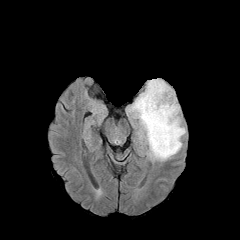
FLAIR magnetic resonance.
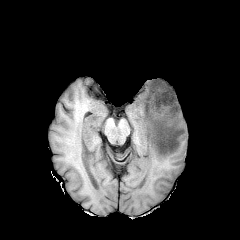
T1-weighted MR image of the same slice.
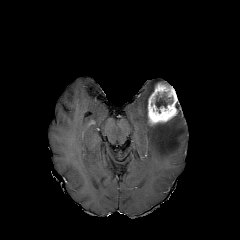
Post-contrast T1-weighted magnetic resonance.
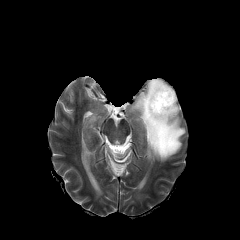
Same slice, T2-weighted magnetic resonance.
Brain | Axial plane
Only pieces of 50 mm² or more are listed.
The largest peritumoral edema region is bounded by 128:78:185:161. The largest necrotic tumor core region appears at 155:96:167:107. The enhancing tumor is at 147:82:178:125.